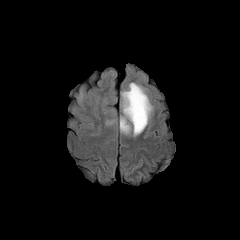
FLAIR magnetic resonance.
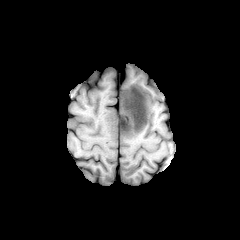
T1-weighted magnetic resonance of the same slice.
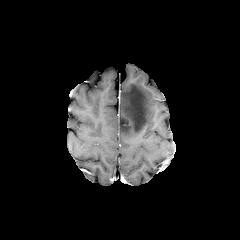
Post-contrast T1-weighted MR image.
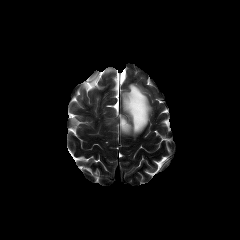
Same slice, T2-weighted MR.
Axial view. Brain. 240x240.
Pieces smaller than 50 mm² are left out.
<segmentation>
  <peritumoral_edema><box>120,83,152,136</box></peritumoral_edema>
</segmentation>